FLAIR magnetic resonance.
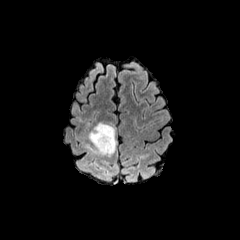
T1-weighted magnetic resonance.
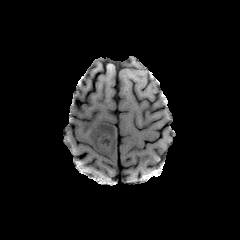
Post-contrast T1-weighted MRI.
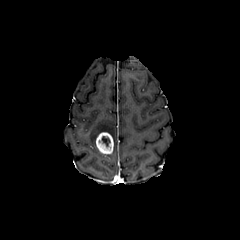
T2-weighted MR.
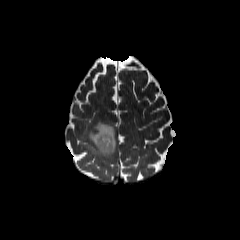
Axial plane
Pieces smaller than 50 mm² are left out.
enhancing tumor: l=95, t=132, r=114, b=154 | peritumoral edema: l=84, t=122, r=116, b=157 | necrotic tumor core: l=102, t=136, r=109, b=146